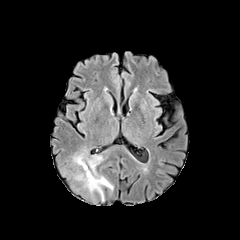
FLAIR MRI.
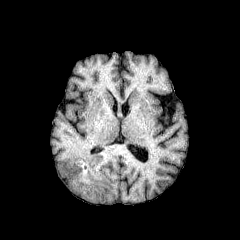
T1-weighted MRI of the same slice.
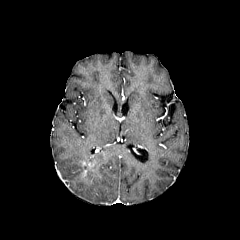
Same slice, post-contrast T1-weighted MR.
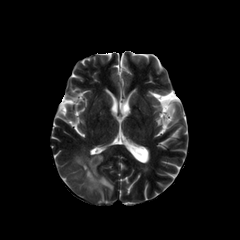
T2-weighted MR image.
Axial slice. 240x240 px.
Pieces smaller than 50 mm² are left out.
peritumoral_edema:
  - 77, 156, 113, 199
  - 74, 153, 87, 165
enhancing_tumor:
  - 82, 158, 96, 168